Image covers 240 mm x 240 mm; Head
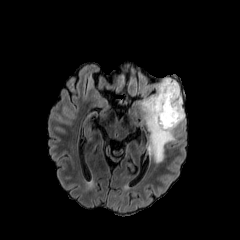
FLAIR magnetic resonance.
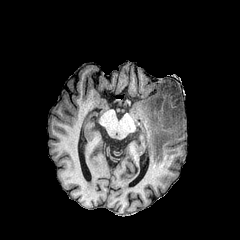
Same slice, T1-weighted MR.
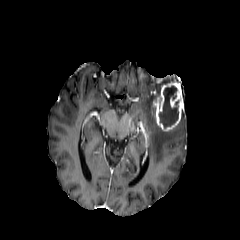
Post-contrast T1-weighted MR of the same slice.
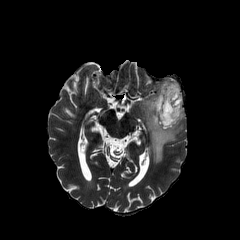
T2-weighted magnetic resonance of the same slice.
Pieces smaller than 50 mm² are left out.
enhancing tumor at <box>152,81,184,131</box>
peritumoral edema at <box>140,78,185,163</box>
necrotic tumor core at <box>158,85,178,127</box>